Image size 240x240, Slice index 64
FLAIR MRI.
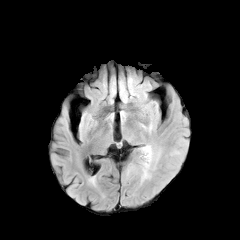
T1-weighted MRI.
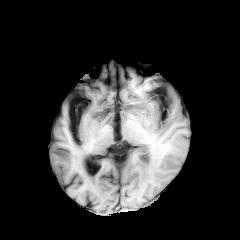
Post-contrast T1-weighted MR image.
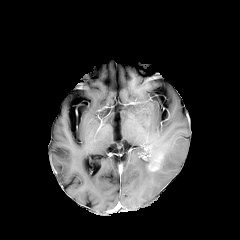
T2-weighted MR image.
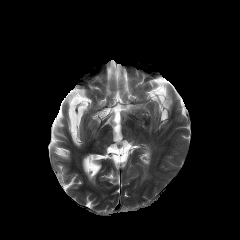
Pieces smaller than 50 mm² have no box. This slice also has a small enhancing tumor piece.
{
  "peritumoral_edema": [
    "rect(144, 146, 151, 166)"
  ]
}